Axial view; Image width 240 mm, 1.00 mm slice spacing; Slice 121 of 155; Brain
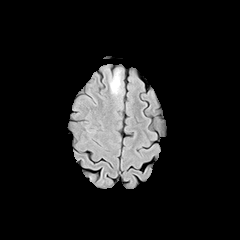
FLAIR MR image.
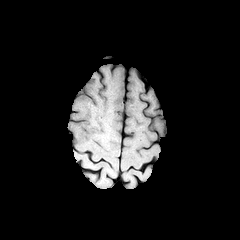
Same slice, T1-weighted MR image.
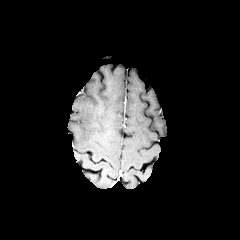
Same slice, post-contrast T1-weighted MR.
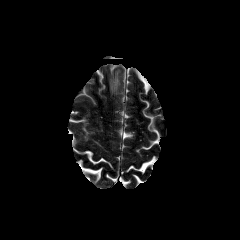
T2-weighted MR of the same slice.
peritumoral_edema:
  - x1=110 y1=70 x2=121 y2=94